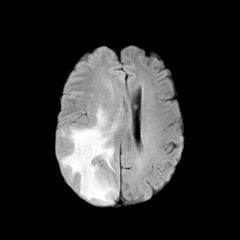
FLAIR magnetic resonance.
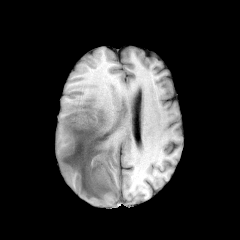
T1-weighted MR image of the same slice.
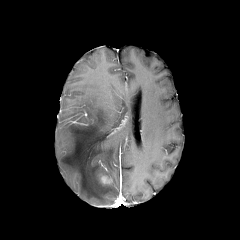
Post-contrast T1-weighted MR.
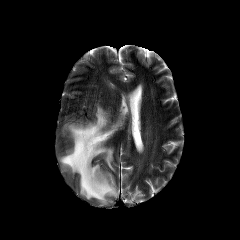
T2-weighted MRI.
Brain, Axial slice
enhancing tumor — l=100, t=175, r=112, b=184
peritumoral edema — l=60, t=106, r=119, b=204